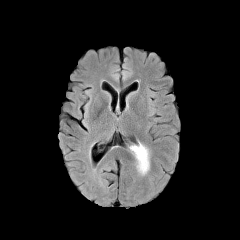
FLAIR MRI.
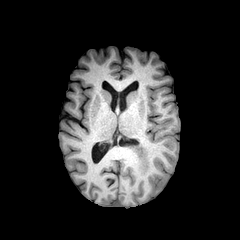
T1-weighted MRI.
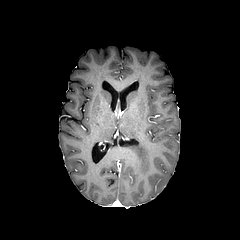
Post-contrast T1-weighted magnetic resonance.
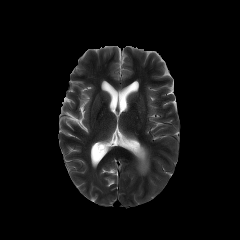
T2-weighted MR of the same slice.
240x240, Head
peritumoral edema: (130, 144, 149, 174)